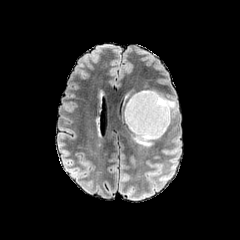
FLAIR MR.
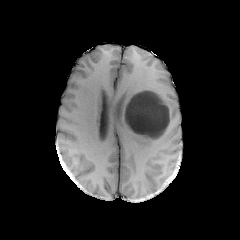
T1-weighted MR.
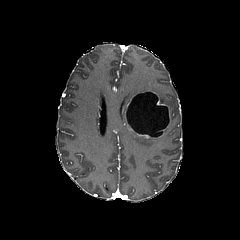
Post-contrast T1-weighted MR image.
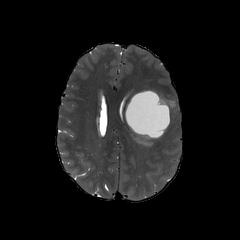
T2-weighted magnetic resonance.
Brain
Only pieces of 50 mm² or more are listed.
necrotic tumor core = x1=126 y1=92 x2=168 y2=137
peritumoral edema = x1=159 y1=96 x2=173 y2=106, x1=133 y1=133 x2=154 y2=146
enhancing tumor = x1=125 y1=90 x2=169 y2=132, x1=136 y1=133 x2=160 y2=138